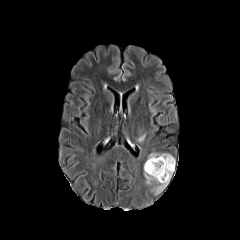
FLAIR MR image.
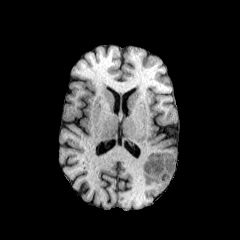
T1-weighted MR.
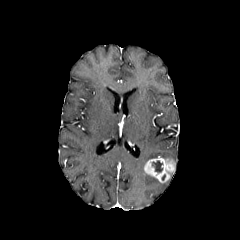
Post-contrast T1-weighted MR.
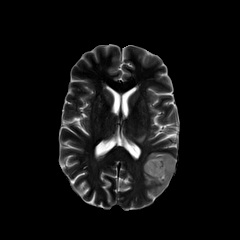
Same slice, T2-weighted magnetic resonance.
Head | Axial view | 240x240 px
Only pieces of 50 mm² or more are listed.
The largest necrotic tumor core region lies within left=152, top=161, right=162, bottom=172. The 2 largest peritumoral edema regions are located at left=147, top=152, right=175, bottom=161; left=144, top=172, right=169, bottom=194. The enhancing tumor is located at left=144, top=156, right=175, bottom=182.